Slice 55/155; Head
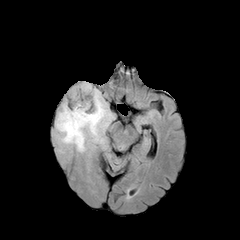
FLAIR magnetic resonance.
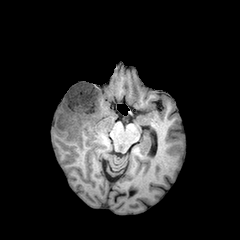
Same slice, T1-weighted MR.
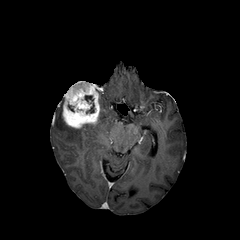
Post-contrast T1-weighted MR image.
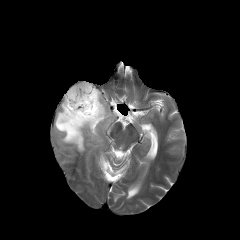
Same slice, T2-weighted magnetic resonance.
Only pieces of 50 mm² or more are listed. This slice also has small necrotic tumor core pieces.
enhancing tumor: bbox=[62, 81, 100, 128]
peritumoral edema: bbox=[55, 90, 113, 152]